FLAIR MR.
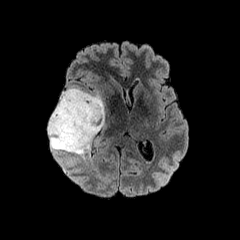
T1-weighted magnetic resonance.
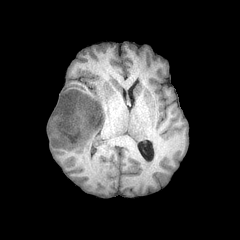
Post-contrast T1-weighted MR.
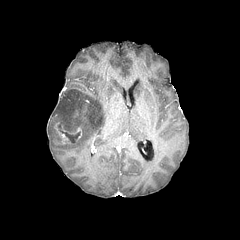
T2-weighted magnetic resonance.
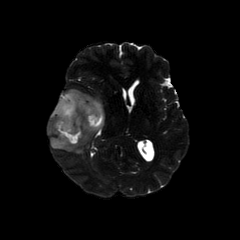
Head, Axial slice
The enhancing tumor is bounded by left=54, top=122, right=81, bottom=144. The peritumoral edema is at left=48, top=88, right=105, bottom=158. The necrotic tumor core lies within left=59, top=130, right=80, bottom=142.